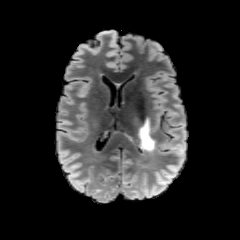
FLAIR MRI.
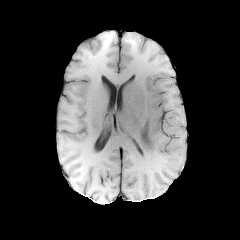
T1-weighted magnetic resonance.
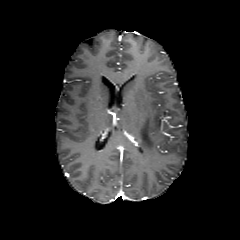
Same slice, post-contrast T1-weighted magnetic resonance.
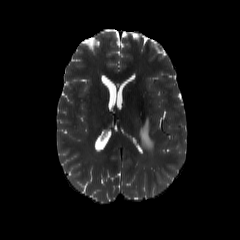
T2-weighted MR of the same slice.
Head, 240x240 px
<segmentation>
  <peritumoral_edema>l=139, t=119, r=154, b=151</peritumoral_edema>
</segmentation>